Slice index 62 | Brain | Image width 240 mm
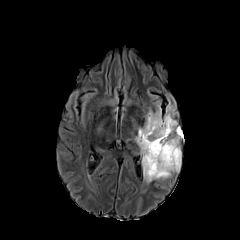
FLAIR MR image.
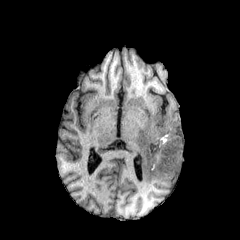
T1-weighted MRI.
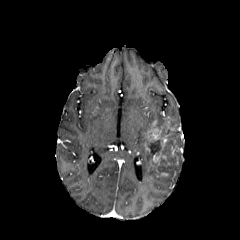
Post-contrast T1-weighted magnetic resonance.
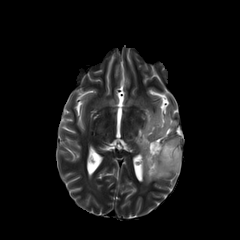
T2-weighted MR image of the same slice.
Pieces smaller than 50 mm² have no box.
The 2 largest enhancing tumor regions are located at 146, 119, 162, 141; 150, 150, 166, 167. The 2 largest peritumoral edema regions are bounded by 135, 105, 180, 183; 164, 104, 178, 127. The 2 largest necrotic tumor core regions appear at 143, 132, 162, 159; 147, 118, 180, 179.